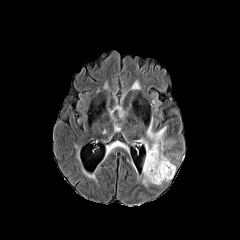
FLAIR magnetic resonance.
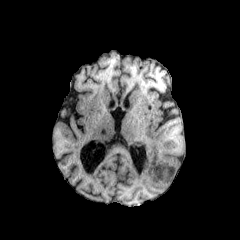
Same slice, T1-weighted MRI.
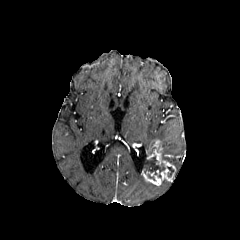
Same slice, post-contrast T1-weighted MR image.
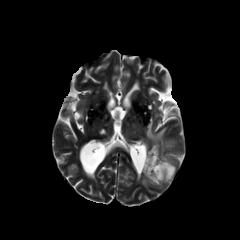
T2-weighted MR.
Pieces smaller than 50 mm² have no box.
peritumoral edema at bbox=[146, 121, 175, 166]
enhancing tumor at bbox=[142, 140, 175, 185]
necrotic tumor core at bbox=[144, 156, 164, 177]